Axial view; Image covers 240 mm x 240 mm
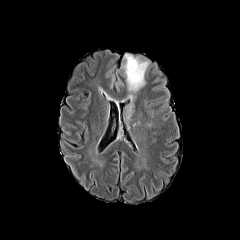
FLAIR MRI.
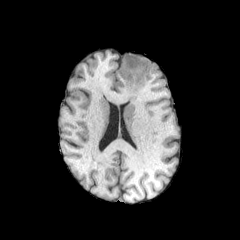
T1-weighted MRI of the same slice.
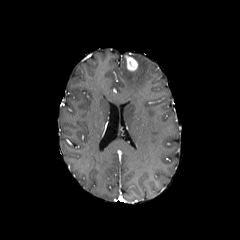
Post-contrast T1-weighted magnetic resonance.
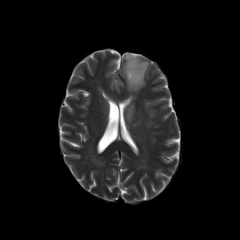
T2-weighted MR image.
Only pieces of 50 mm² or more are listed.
The enhancing tumor is located at left=125, top=55, right=137, bottom=71. The 2 largest peritumoral edema regions are located at left=122, top=56, right=149, bottom=92; left=123, top=102, right=133, bottom=122.